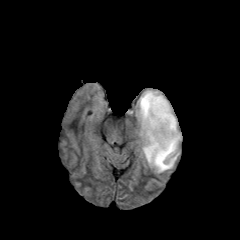
FLAIR MR.
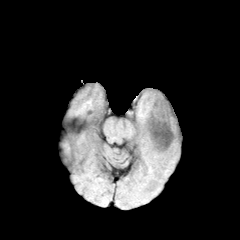
T1-weighted magnetic resonance.
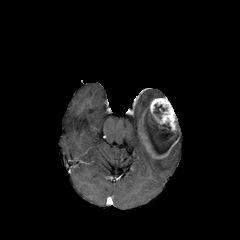
Post-contrast T1-weighted MR image.
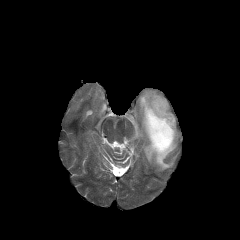
T2-weighted MR image of the same slice.
Axial slice | Brain
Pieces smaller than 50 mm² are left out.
peritumoral edema: (125, 90, 163, 136), (142, 142, 179, 172) | enhancing tumor: (139, 97, 180, 159) | necrotic tumor core: (154, 105, 165, 114), (143, 109, 177, 154)